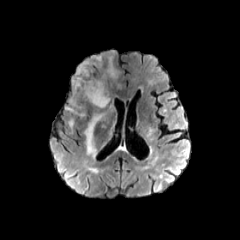
FLAIR MR image.
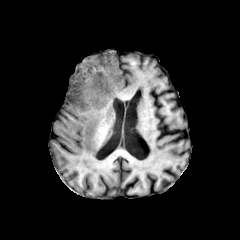
Same slice, T1-weighted MRI.
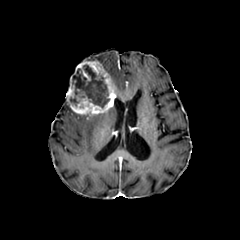
Post-contrast T1-weighted MR of the same slice.
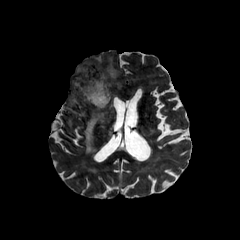
T2-weighted magnetic resonance.
Axial plane | Brain | Image size 240x240
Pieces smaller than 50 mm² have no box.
{"necrotic_tumor_core": ["box=[72, 65, 109, 107]"], "enhancing_tumor": ["box=[66, 60, 116, 116]"], "peritumoral_edema": ["box=[84, 113, 104, 156]", "box=[106, 59, 116, 79]"]}